FLAIR MR image.
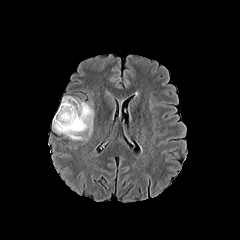
T1-weighted MRI.
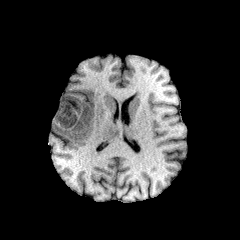
Post-contrast T1-weighted MR image.
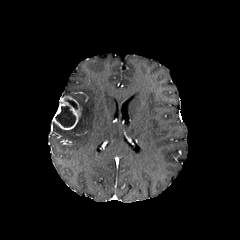
T2-weighted MR.
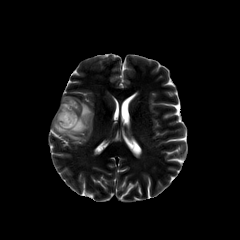
Axial plane; 240x240
{"peritumoral_edema": ["53,99,93,140"], "necrotic_tumor_core": ["66,99,77,109", "55,106,75,127"], "enhancing_tumor": ["52,96,81,130"]}